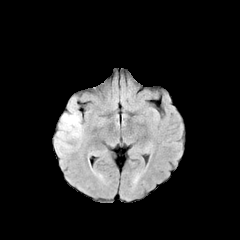
FLAIR MR.
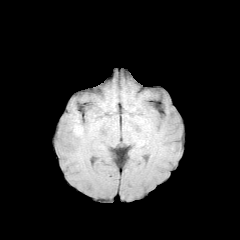
T1-weighted MRI of the same slice.
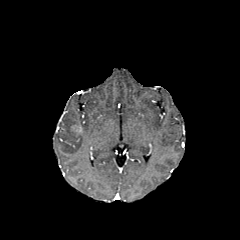
Post-contrast T1-weighted MR image.
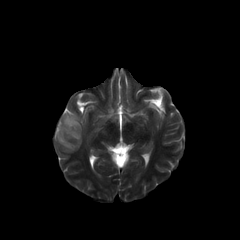
T2-weighted MR.
Brain; 240x240 px; Axial plane
{"peritumoral_edema": ["l=55, t=96, r=84, b=155"], "enhancing_tumor": ["l=71, t=123, r=80, b=132"]}